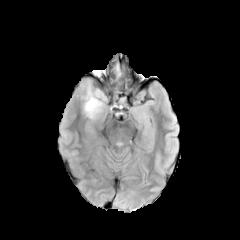
FLAIR MRI.
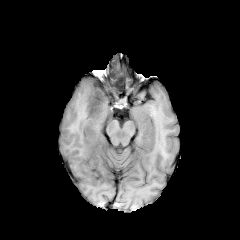
T1-weighted MR image of the same slice.
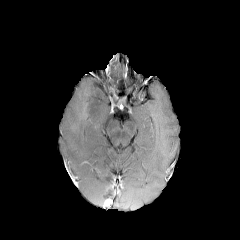
Post-contrast T1-weighted MRI.
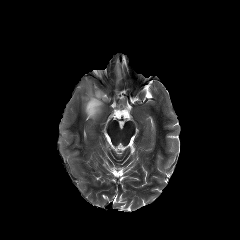
T2-weighted MR image.
240x240 px, Axial view, Brain
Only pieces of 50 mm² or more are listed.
peritumoral edema: 82:84:107:119